FLAIR MR image.
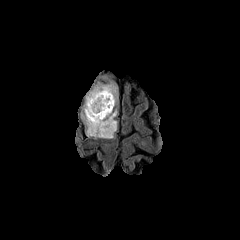
T1-weighted MR image.
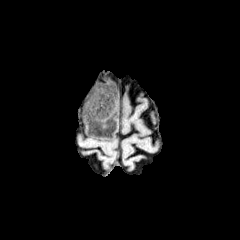
Post-contrast T1-weighted magnetic resonance.
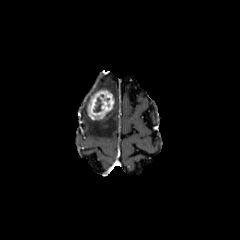
T2-weighted MR image.
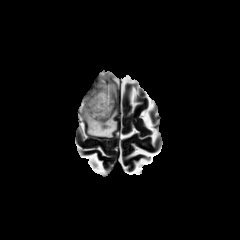
240x240 px
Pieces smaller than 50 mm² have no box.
peritumoral_edema:
  - 94 82 117 108
  - 82 97 117 138
enhancing_tumor:
  - 87 89 114 119
necrotic_tumor_core:
  - 94 97 101 111